FLAIR MR image.
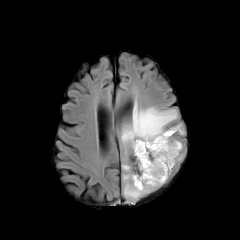
T1-weighted magnetic resonance.
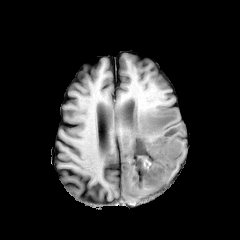
Post-contrast T1-weighted MR.
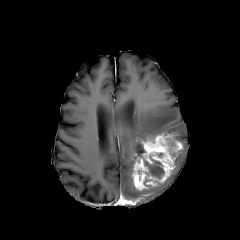
T2-weighted MRI.
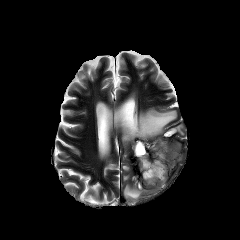
Head
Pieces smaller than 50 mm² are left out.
peritumoral edema = {"x1": 123, "y1": 173, "x2": 156, "y2": 200}, {"x1": 121, "y1": 102, "x2": 184, "y2": 152}, {"x1": 122, "y1": 164, "x2": 130, "y2": 171}
enhancing tumor = {"x1": 132, "y1": 132, "x2": 182, "y2": 190}
necrotic tumor core = {"x1": 135, "y1": 143, "x2": 144, "y2": 155}, {"x1": 144, "y1": 159, "x2": 164, "y2": 178}